FLAIR magnetic resonance.
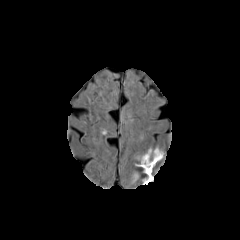
T1-weighted MR.
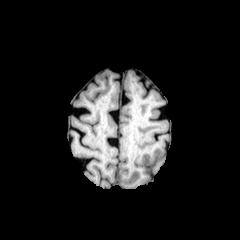
Post-contrast T1-weighted MRI.
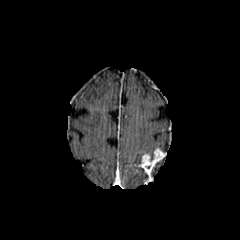
T2-weighted MRI.
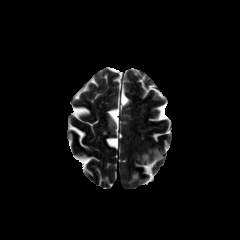
Axial view; 240x240
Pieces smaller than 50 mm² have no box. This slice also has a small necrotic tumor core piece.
enhancing tumor: [x1=137, y1=148, x2=165, y2=184] | peritumoral edema: [x1=135, y1=147, x2=154, y2=161]